FLAIR MRI.
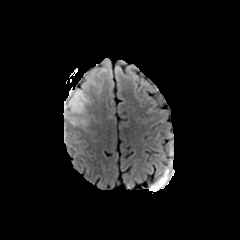
T1-weighted MRI.
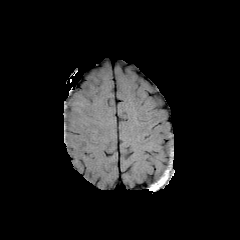
Post-contrast T1-weighted magnetic resonance.
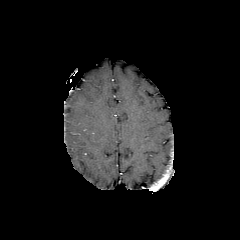
T2-weighted MR.
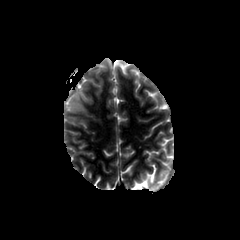
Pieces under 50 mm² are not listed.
The largest peritumoral edema region lies within {"x1": 63, "y1": 87, "x2": 92, "y2": 127}.